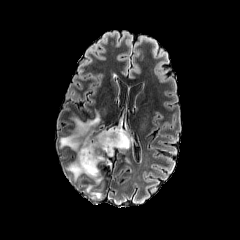
FLAIR MRI.
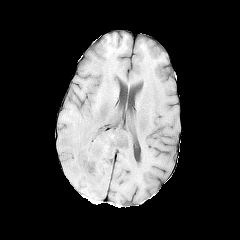
T1-weighted MR image.
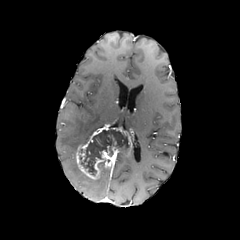
Post-contrast T1-weighted magnetic resonance.
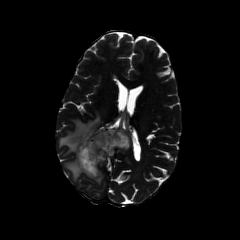
Same slice, T2-weighted MR.
Image size 240x240 | Axial view | Head
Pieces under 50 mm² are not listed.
The largest necrotic tumor core region is at x1=79, y1=129, x2=129, y2=175. The 2 largest peritumoral edema regions appear at x1=60, y1=111, x2=100, y2=152; x1=67, y1=159, x2=82, y2=179. The largest enhancing tumor region lies within x1=76, y1=127, x2=132, y2=179.